FLAIR MRI.
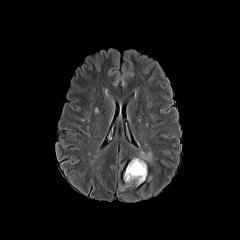
T1-weighted MR.
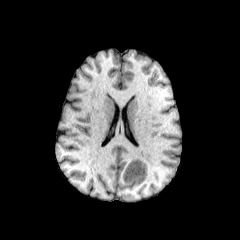
Post-contrast T1-weighted magnetic resonance.
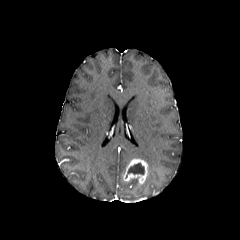
T2-weighted MRI.
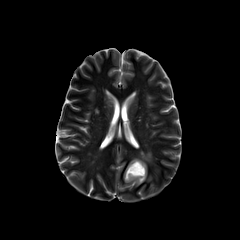
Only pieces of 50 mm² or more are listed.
<segmentation>
  <peritumoral_edema>bbox(122, 179, 138, 190); bbox(134, 151, 152, 161)</peritumoral_edema>
  <enhancing_tumor>bbox(123, 158, 147, 184)</enhancing_tumor>
  <necrotic_tumor_core>bbox(126, 163, 144, 177)</necrotic_tumor_core>
</segmentation>